Image size 240x240. Slice 69/155.
FLAIR MR image.
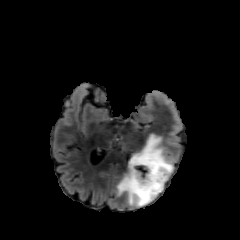
T1-weighted MRI.
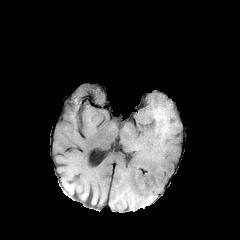
Post-contrast T1-weighted magnetic resonance.
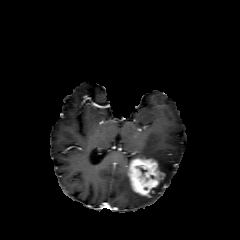
T2-weighted MR image.
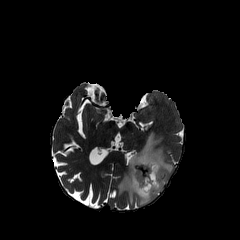
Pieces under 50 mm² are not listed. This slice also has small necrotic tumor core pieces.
The enhancing tumor is located at [128,157,164,197]. The peritumoral edema is bounded by [117,135,173,206].